FLAIR MRI.
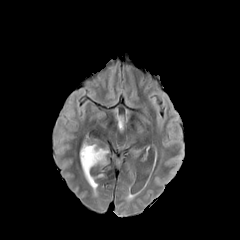
T1-weighted magnetic resonance.
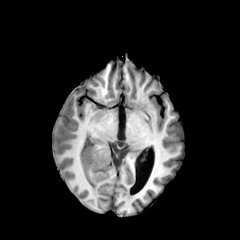
Post-contrast T1-weighted magnetic resonance.
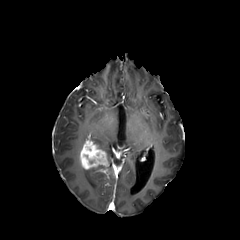
T2-weighted MR image.
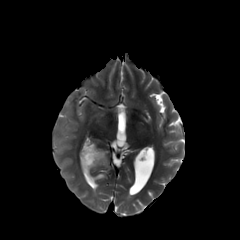
Head
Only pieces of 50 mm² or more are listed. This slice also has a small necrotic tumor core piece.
The largest peritumoral edema region lies within (82, 168, 97, 192). The enhancing tumor is at (79, 140, 108, 174).